Head
FLAIR MR image.
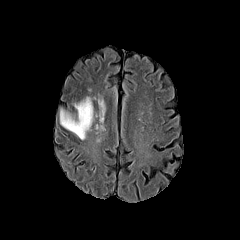
T1-weighted magnetic resonance.
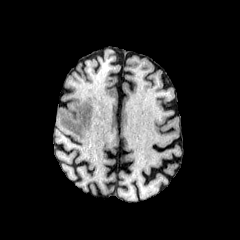
Post-contrast T1-weighted MRI.
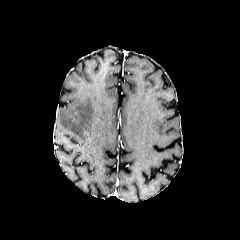
T2-weighted MR.
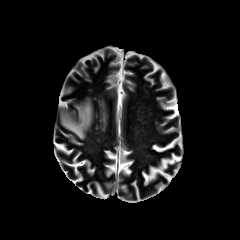
peritumoral edema = left=60, top=97, right=93, bottom=139